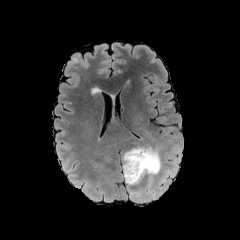
FLAIR magnetic resonance.
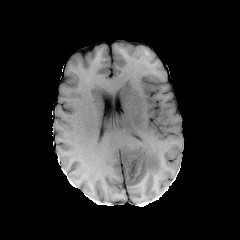
T1-weighted magnetic resonance of the same slice.
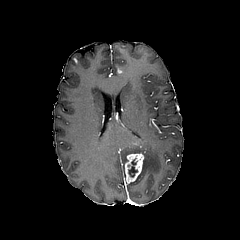
Post-contrast T1-weighted MR image.
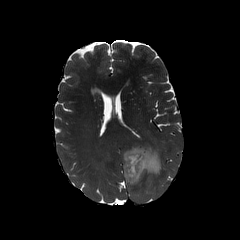
T2-weighted MR image.
Axial plane
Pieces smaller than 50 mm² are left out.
The necrotic tumor core appears at 128 159 137 176. The 3 largest peritumoral edema regions appear at 131 189 141 196, 158 178 164 191, 122 146 162 193. The largest enhancing tumor region appears at 124 153 144 183.